FLAIR MRI.
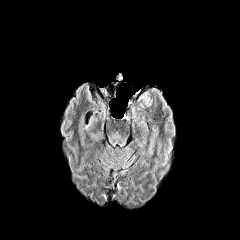
T1-weighted MRI.
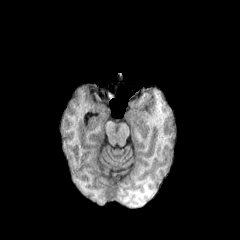
Post-contrast T1-weighted MR.
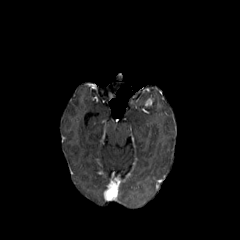
T2-weighted MR.
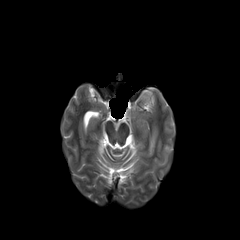
Head. 240x240 px.
peritumoral_edema:
  - l=137, t=91, r=151, b=106